FLAIR MR.
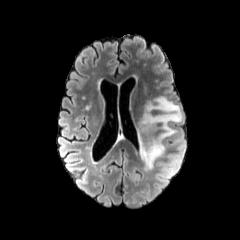
T1-weighted MR image.
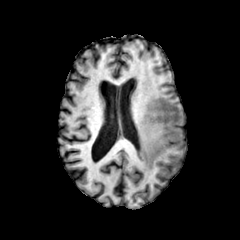
Post-contrast T1-weighted MR.
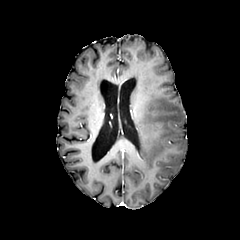
T2-weighted MRI.
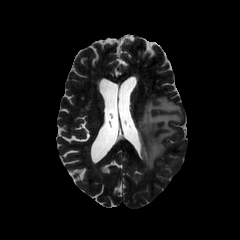
Brain | Axial plane
peritumoral_edema:
  - 138, 96, 182, 169